240x240 | Slice 114/155 | Head | Axial view
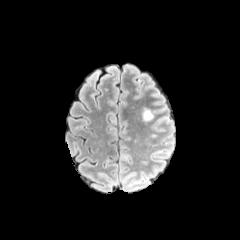
FLAIR magnetic resonance.
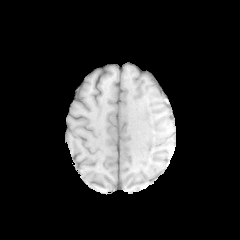
Same slice, T1-weighted MR.
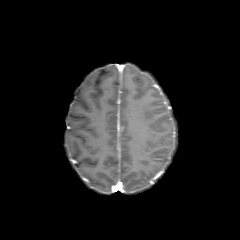
Post-contrast T1-weighted MRI of the same slice.
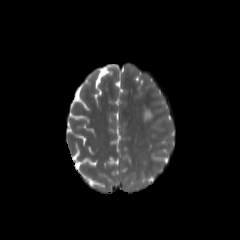
Same slice, T2-weighted MR image.
peritumoral edema — rect(143, 109, 152, 121)